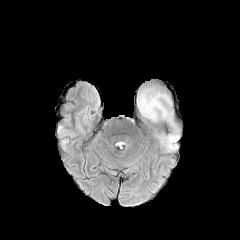
FLAIR magnetic resonance.
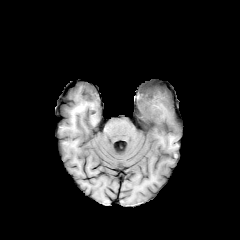
Same slice, T1-weighted MR image.
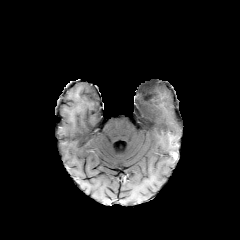
Post-contrast T1-weighted MRI.
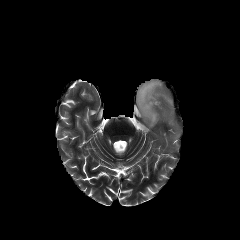
T2-weighted MR image of the same slice.
Axial slice; Brain; 240x240 px
peritumoral edema — box(134, 80, 181, 149)